FLAIR magnetic resonance.
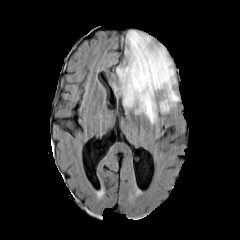
T1-weighted MRI.
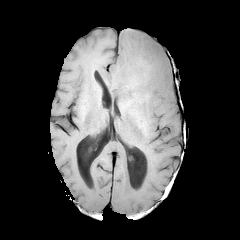
Post-contrast T1-weighted MR.
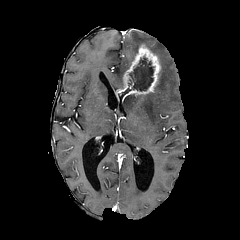
T2-weighted magnetic resonance.
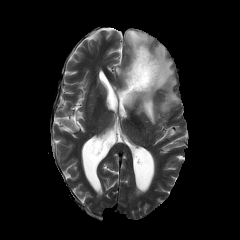
Axial plane; 240x240; Head
Segmented structures:
- peritumoral edema: l=114, t=30, r=178, b=123
- necrotic tumor core: l=128, t=57, r=153, b=91
- enhancing tumor: l=116, t=43, r=161, b=98